FLAIR magnetic resonance.
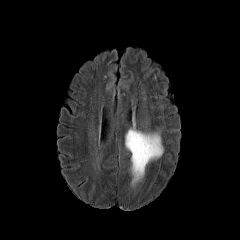
T1-weighted magnetic resonance.
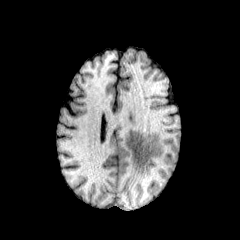
Post-contrast T1-weighted MR image.
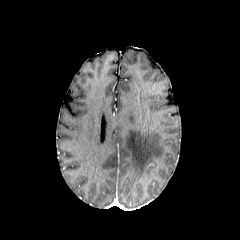
T2-weighted MR.
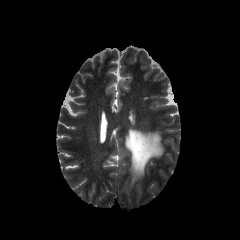
peritumoral edema: 125, 129, 163, 184